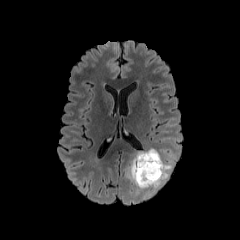
FLAIR MRI.
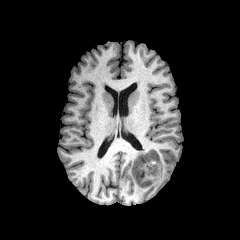
Same slice, T1-weighted magnetic resonance.
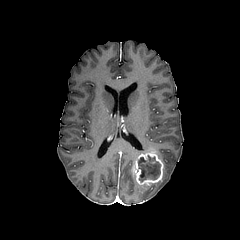
Same slice, post-contrast T1-weighted MRI.
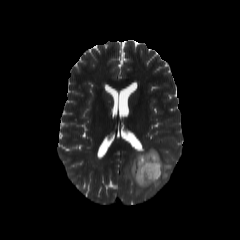
T2-weighted MR image.
Brain
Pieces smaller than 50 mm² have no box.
The peritumoral edema is bounded by (left=125, top=148, right=178, bottom=198). The necrotic tumor core lies within (left=138, top=155, right=160, bottom=181). The largest enhancing tumor region lies within (left=132, top=151, right=164, bottom=185).